Axial view
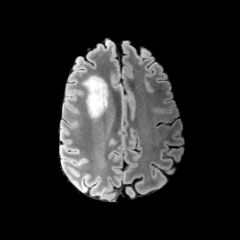
FLAIR MR image.
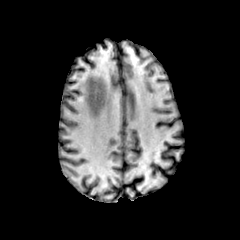
Same slice, T1-weighted magnetic resonance.
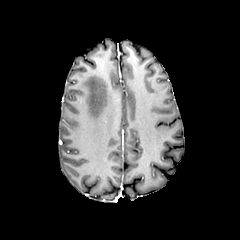
Same slice, post-contrast T1-weighted MR.
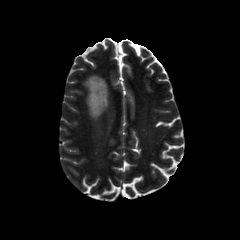
T2-weighted magnetic resonance.
Findings:
* peritumoral edema: rect(83, 75, 108, 118)